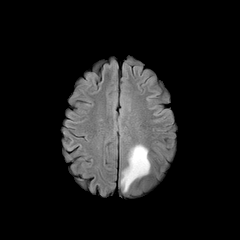
FLAIR MRI.
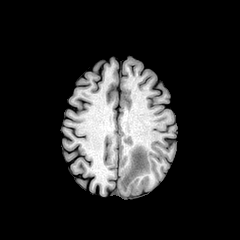
T1-weighted MR.
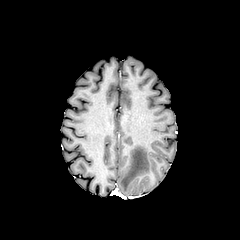
Post-contrast T1-weighted MR of the same slice.
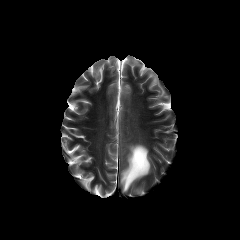
T2-weighted MRI of the same slice.
Brain
<segmentation>
  <peritumoral_edema>x1=120, y1=144, x2=150, y2=191</peritumoral_edema>
</segmentation>